Image width 240 mm, 1.00 mm slice spacing, Head, Slice index 73, Axial plane
FLAIR MR image.
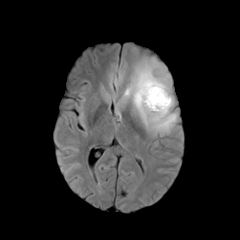
T1-weighted magnetic resonance.
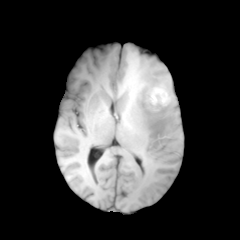
Post-contrast T1-weighted MR image.
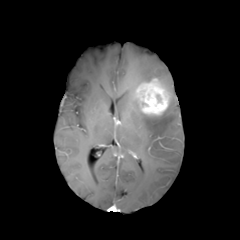
T2-weighted MRI.
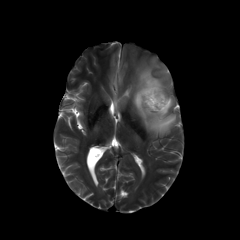
peritumoral edema — {"x1": 123, "y1": 58, "x2": 176, "y2": 134}
enhancing tumor — {"x1": 135, "y1": 78, "x2": 169, "y2": 115}